Brain | Axial plane
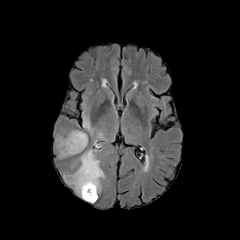
FLAIR MR.
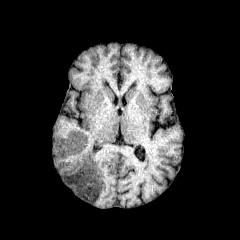
Same slice, T1-weighted MRI.
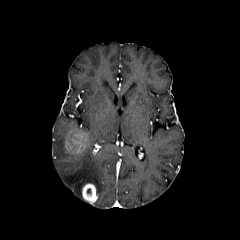
Post-contrast T1-weighted MR.
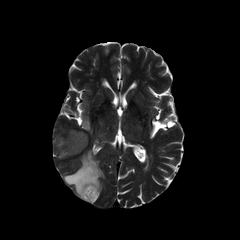
T2-weighted MR of the same slice.
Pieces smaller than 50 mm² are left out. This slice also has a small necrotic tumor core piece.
- peritumoral edema: bbox(63, 149, 104, 196); bbox(83, 114, 91, 130); bbox(56, 135, 73, 157)
- enhancing tumor: bbox(82, 183, 97, 203); bbox(65, 130, 87, 154)